FLAIR magnetic resonance.
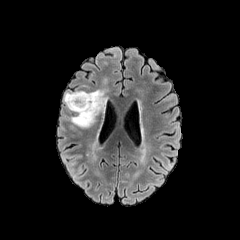
T1-weighted MR image.
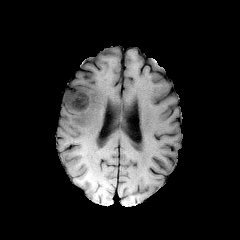
Post-contrast T1-weighted MRI.
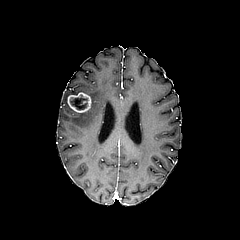
T2-weighted MR image.
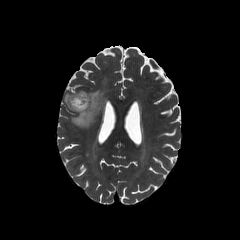
Findings:
- enhancing tumor: region(67, 92, 91, 113)
- necrotic tumor core: region(70, 98, 86, 109)
- peritumoral edema: region(63, 89, 106, 127)